FLAIR MR image.
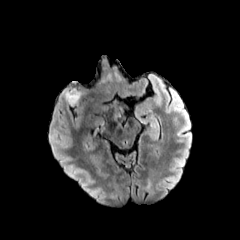
T1-weighted MRI.
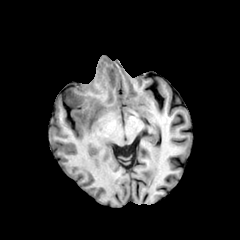
Post-contrast T1-weighted MRI.
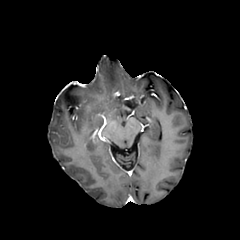
T2-weighted MRI.
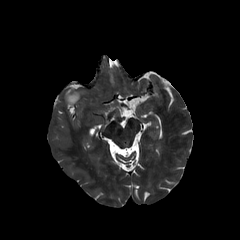
Image size 240x240.
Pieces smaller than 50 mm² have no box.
{
  "peritumoral_edema": [
    "65 90 79 105"
  ]
}